FLAIR MR.
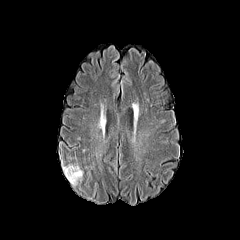
T1-weighted MR.
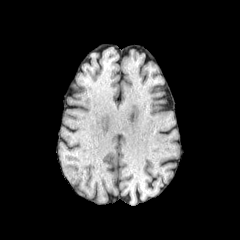
Post-contrast T1-weighted magnetic resonance.
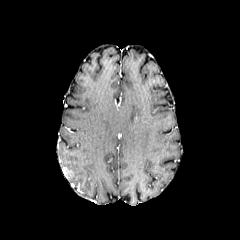
T2-weighted magnetic resonance.
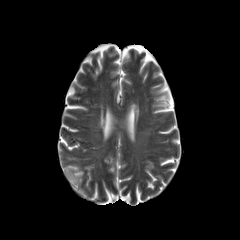
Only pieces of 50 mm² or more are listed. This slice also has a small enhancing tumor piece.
Annotated regions:
* peritumoral edema: region(63, 164, 83, 184)